Axial slice; 240x240; Head; Slice 129 of 155
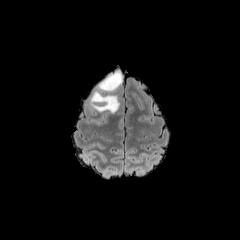
FLAIR MRI.
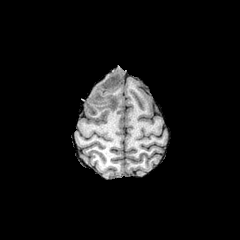
T1-weighted magnetic resonance of the same slice.
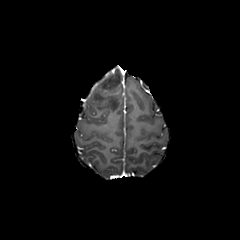
Same slice, post-contrast T1-weighted MR.
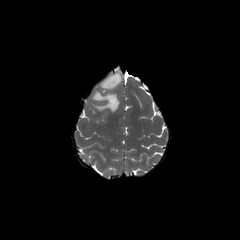
Same slice, T2-weighted MR image.
peritumoral_edema:
  - 98,70,122,90
  - 90,92,119,113